Image size 240x240; Axial slice; Slice 104 of 155
FLAIR magnetic resonance.
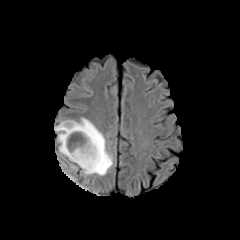
T1-weighted MRI.
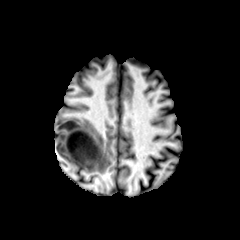
Post-contrast T1-weighted magnetic resonance.
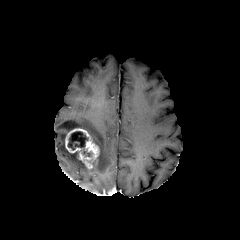
T2-weighted magnetic resonance.
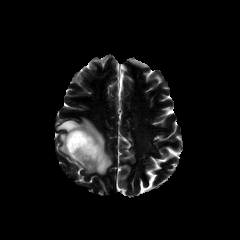
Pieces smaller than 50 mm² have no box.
The largest necrotic tumor core region is bounded by l=68, t=131, r=88, b=149. The largest peritumoral edema region is located at l=55, t=118, r=112, b=175. The enhancing tumor is at l=65, t=128, r=99, b=169.